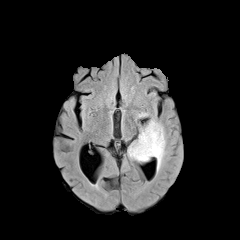
FLAIR magnetic resonance.
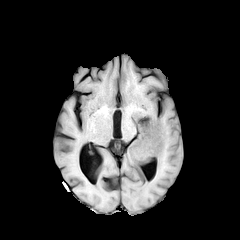
T1-weighted MR image of the same slice.
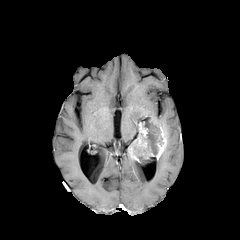
Post-contrast T1-weighted MR.
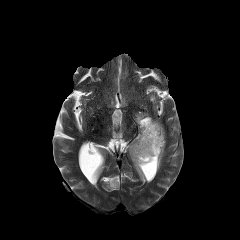
Same slice, T2-weighted magnetic resonance.
Axial plane, Brain
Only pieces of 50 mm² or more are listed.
<segmentation>
  <necrotic_tumor_core>134 120 162 160</necrotic_tumor_core>
  <peritumoral_edema>135 112 149 120, 157 150 166 172</peritumoral_edema>
  <enhancing_tumor>153 120 166 159, 128 121 147 161</enhancing_tumor>
</segmentation>